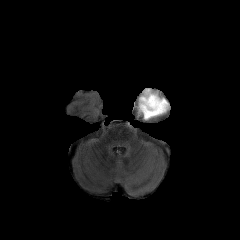
FLAIR MR.
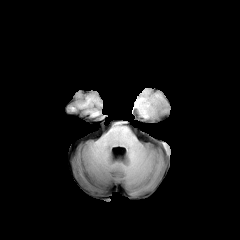
Same slice, T1-weighted MR image.
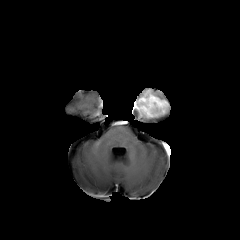
Post-contrast T1-weighted magnetic resonance of the same slice.
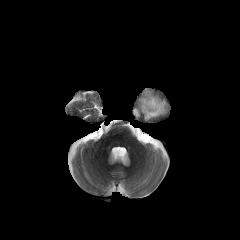
T2-weighted MR.
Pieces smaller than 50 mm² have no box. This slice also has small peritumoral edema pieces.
<segmentation>
  <enhancing_tumor>{"x1": 136, "y1": 89, "x2": 169, "y2": 118}</enhancing_tumor>
</segmentation>